Head; Image width 240 mm
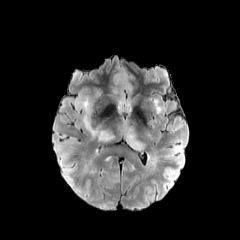
FLAIR MR.
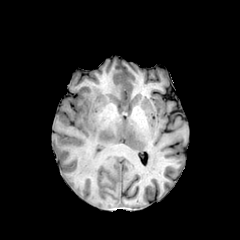
T1-weighted MRI.
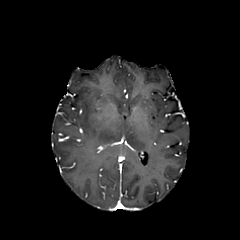
Post-contrast T1-weighted MR image.
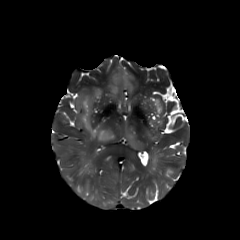
T2-weighted MR.
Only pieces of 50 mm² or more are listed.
The 2 largest peritumoral edema regions appear at region(76, 96, 114, 141); region(122, 122, 144, 151).